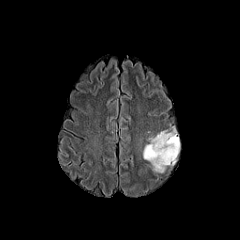
FLAIR magnetic resonance.
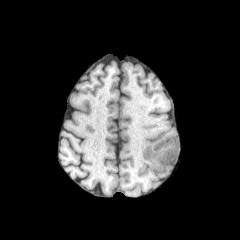
T1-weighted MRI.
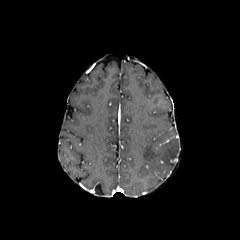
Same slice, post-contrast T1-weighted MR.
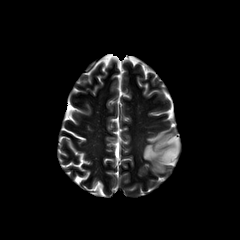
Same slice, T2-weighted MR image.
Head
The peritumoral edema appears at [143,130,179,172].